FLAIR MR image.
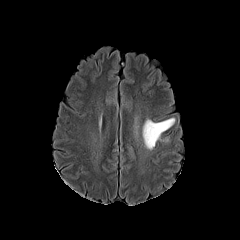
T1-weighted MR image.
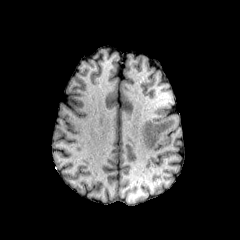
Post-contrast T1-weighted MRI.
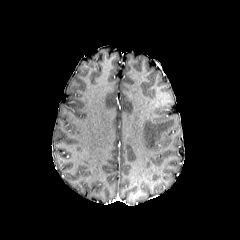
T2-weighted MR image.
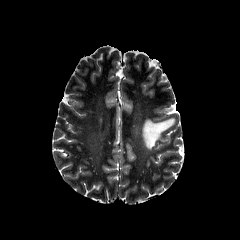
Brain.
The peritumoral edema lies within {"x1": 142, "y1": 118, "x2": 175, "y2": 150}.